FLAIR magnetic resonance.
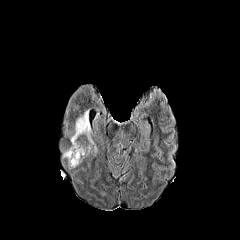
T1-weighted MRI.
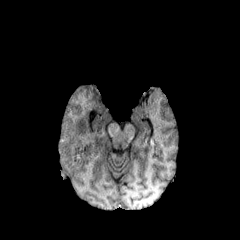
Post-contrast T1-weighted magnetic resonance.
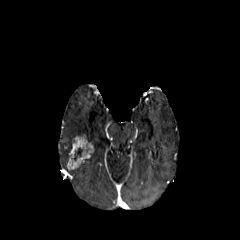
T2-weighted magnetic resonance.
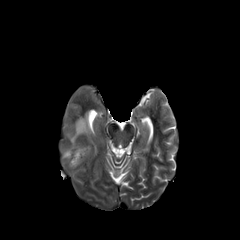
Image size 240x240, Axial slice, Brain
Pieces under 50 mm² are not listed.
Segmented structures:
* necrotic tumor core: <bbox>74, 148, 82, 160</bbox>
* peritumoral edema: <bbox>63, 147, 71, 159</bbox>, <bbox>70, 111, 92, 144</bbox>
* enhancing tumor: <bbox>67, 136, 93, 169</bbox>